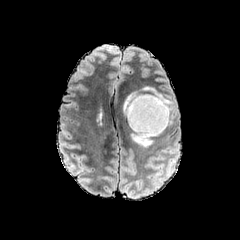
FLAIR MR image.
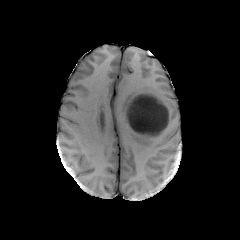
T1-weighted MRI.
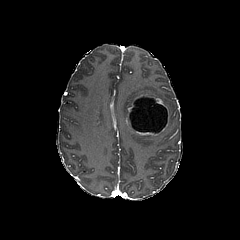
Post-contrast T1-weighted MR.
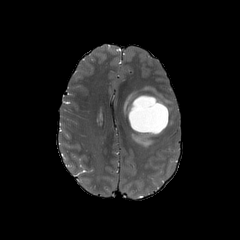
T2-weighted magnetic resonance.
Image size 240x240, Brain, Axial slice
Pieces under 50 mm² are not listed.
The necrotic tumor core appears at (left=129, top=96, right=167, bottom=133). The 3 largest peritumoral edema regions are located at (left=124, top=92, right=138, bottom=115), (left=131, top=131, right=153, bottom=147), (left=151, top=93, right=168, bottom=104). The enhancing tumor appears at (left=127, top=93, right=168, bottom=136).